Slice 92/155 | Axial slice
FLAIR MR.
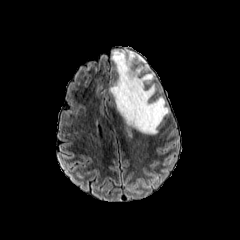
T1-weighted MR image.
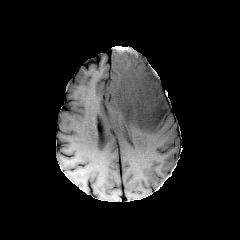
Post-contrast T1-weighted magnetic resonance.
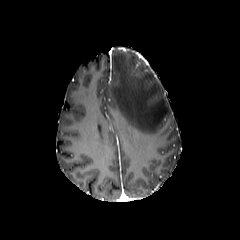
T2-weighted MR.
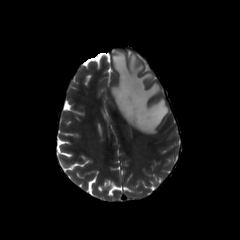
The peritumoral edema is at 110,47,169,134. The enhancing tumor appears at 137,53,147,63.